FLAIR MR image.
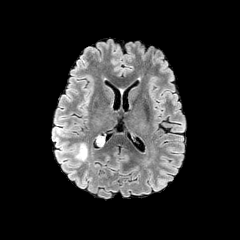
T1-weighted MR image.
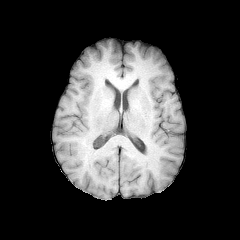
Post-contrast T1-weighted MRI.
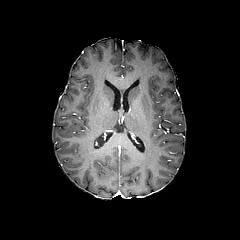
T2-weighted MR.
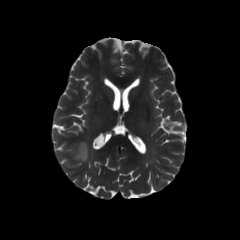
peritumoral_edema:
  - (71, 143, 87, 161)